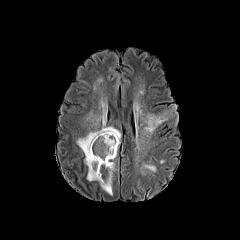
FLAIR magnetic resonance.
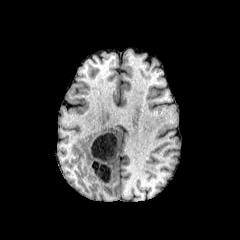
T1-weighted MRI.
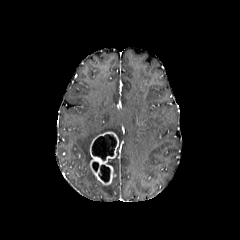
Same slice, post-contrast T1-weighted MRI.
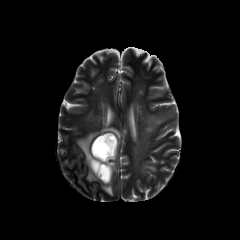
T2-weighted MR of the same slice.
Axial slice, Head
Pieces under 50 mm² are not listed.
The enhancing tumor is located at <box>90,131,118,185</box>. The 4 largest peritumoral edema regions are located at <box>77,102,120,181</box>, <box>143,164,156,172</box>, <box>142,113,166,134</box>, <box>98,181,112,195</box>. 3 necrotic tumor core regions appear at <box>98,165,110,182</box>, <box>92,134,116,160</box>, <box>92,162,98,171</box>.